240x240 px | Axial slice
FLAIR MR image.
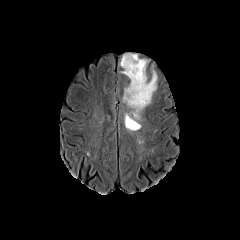
T1-weighted magnetic resonance.
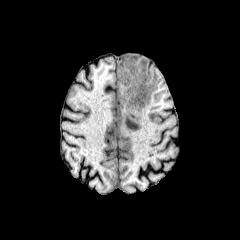
Post-contrast T1-weighted MR.
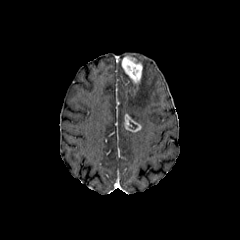
T2-weighted MR image.
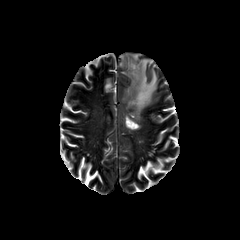
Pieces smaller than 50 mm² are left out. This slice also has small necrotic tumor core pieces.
enhancing_tumor:
  - (124, 114, 141, 131)
  - (121, 55, 142, 93)
peritumoral_edema:
  - (122, 53, 157, 124)